FLAIR MR.
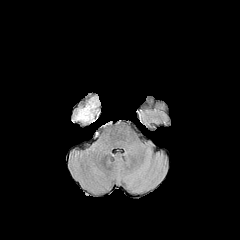
T1-weighted MR.
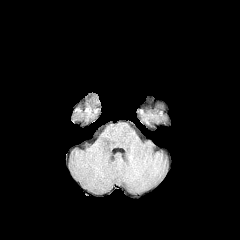
Post-contrast T1-weighted MRI.
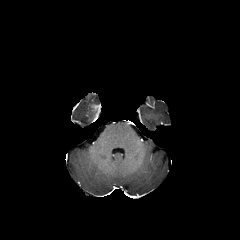
T2-weighted MR.
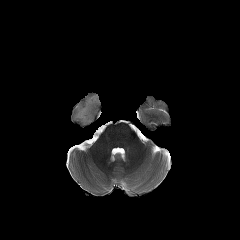
Axial slice; Brain
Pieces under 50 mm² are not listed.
Findings:
- peritumoral edema: 75,98,98,121
- enhancing tumor: 92,104,100,114